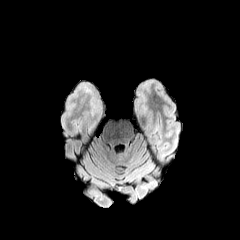
FLAIR MRI.
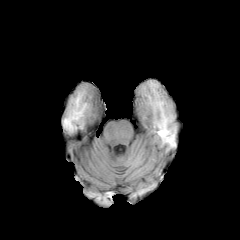
T1-weighted MR image.
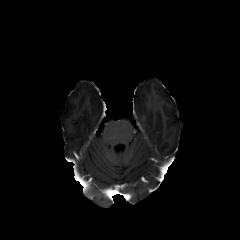
Post-contrast T1-weighted MRI.
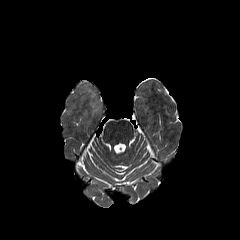
T2-weighted MR.
Image size 240x240
2 peritumoral edema regions are bounded by (x1=83, y1=84, x2=100, y2=114), (x1=135, y1=85, x2=144, y2=107).